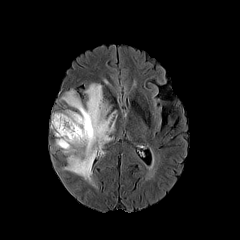
FLAIR MRI.
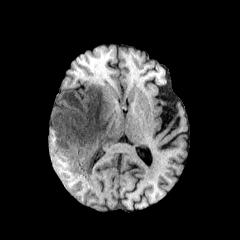
T1-weighted magnetic resonance.
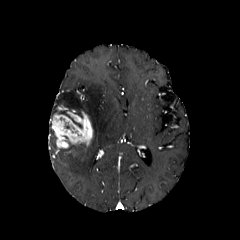
Post-contrast T1-weighted MR of the same slice.
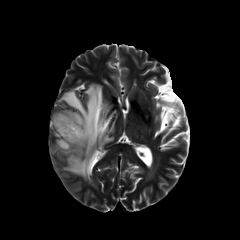
Same slice, T2-weighted magnetic resonance.
240x240. Axial plane.
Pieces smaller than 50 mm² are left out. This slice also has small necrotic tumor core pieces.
peritumoral_edema:
  - <bbox>57, 83, 116, 185</bbox>
enhancing_tumor:
  - <bbox>51, 109, 93, 148</bbox>